240x240; Image width 240 mm; Axial plane; Slice 73 of 155
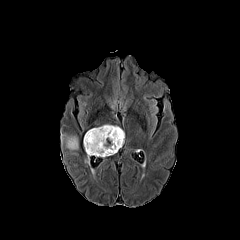
FLAIR MRI.
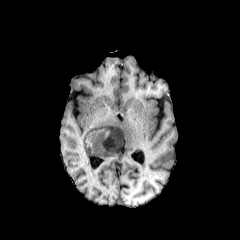
Same slice, T1-weighted MRI.
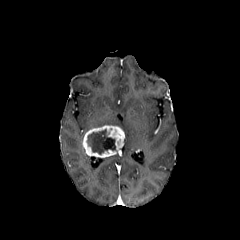
Post-contrast T1-weighted magnetic resonance of the same slice.
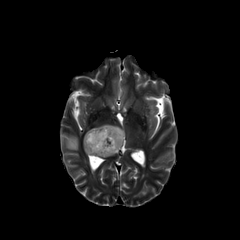
T2-weighted MR.
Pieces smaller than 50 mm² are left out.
necrotic tumor core: 87, 129, 115, 154
peritumoral edema: 61, 132, 78, 151
enhancing tumor: 83, 125, 124, 157